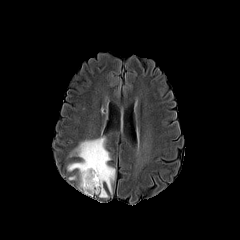
FLAIR MR image.
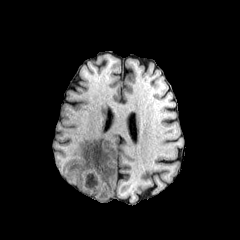
Same slice, T1-weighted MRI.
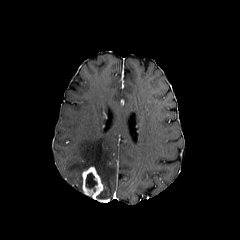
Same slice, post-contrast T1-weighted MR.
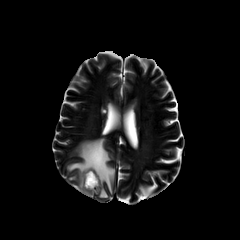
Same slice, T2-weighted MR.
Head; 240x240
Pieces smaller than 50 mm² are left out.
The necrotic tumor core is bounded by x1=85, y1=171, x2=97, y2=191. The 2 largest peritumoral edema regions are located at x1=99, y1=189, x2=108, y2=197; x1=67, y1=137, x2=115, y2=193. The enhancing tumor is located at x1=82, y1=166, x2=103, y2=197.